Brain, 240x240
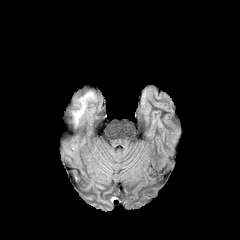
FLAIR MR.
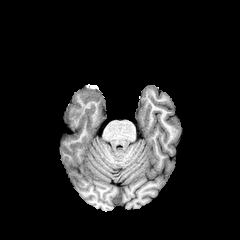
T1-weighted MR of the same slice.
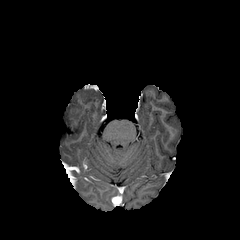
Post-contrast T1-weighted MR of the same slice.
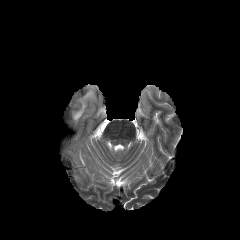
T2-weighted MR image.
peritumoral edema: bounding box <bbox>73, 91, 93, 123</bbox>